Image size 240x240 | Head | Axial view
FLAIR MRI.
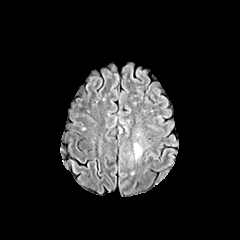
T1-weighted MR.
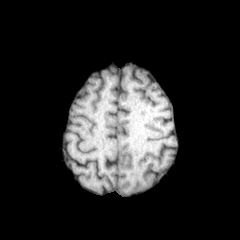
Post-contrast T1-weighted MR.
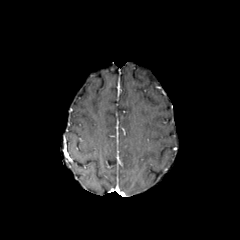
T2-weighted MR.
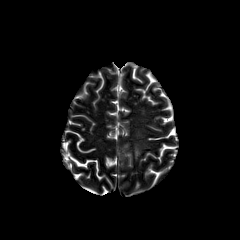
The peritumoral edema lies within (left=134, top=143, right=141, bottom=158).